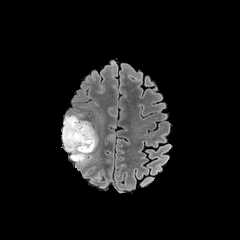
FLAIR MR image.
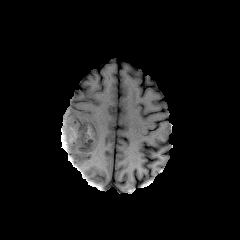
Same slice, T1-weighted MR image.
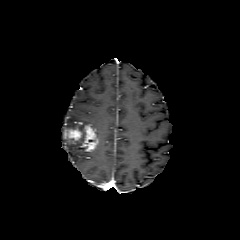
Post-contrast T1-weighted MRI of the same slice.
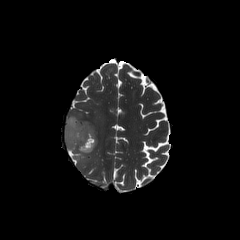
T2-weighted MRI.
Head
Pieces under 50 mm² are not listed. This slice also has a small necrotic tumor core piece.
enhancing tumor: <box>64,122,98,151</box> | peritumoral edema: <box>62,115,92,165</box>